Axial slice; Head; Image covers 240 mm x 240 mm
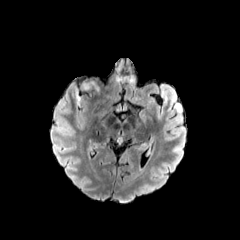
FLAIR MRI.
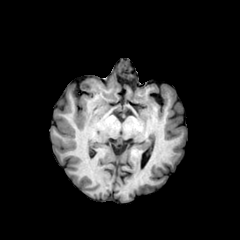
T1-weighted MRI of the same slice.
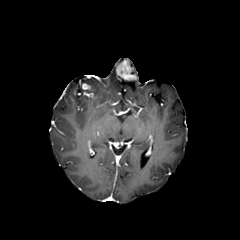
Post-contrast T1-weighted magnetic resonance of the same slice.
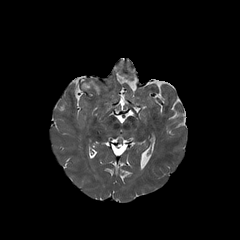
T2-weighted MRI.
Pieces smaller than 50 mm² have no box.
enhancing tumor — <bbox>116, 61, 136, 82</bbox>, <bbox>81, 83, 92, 90</bbox>
peritumoral edema — <bbox>87, 81, 99, 93</bbox>